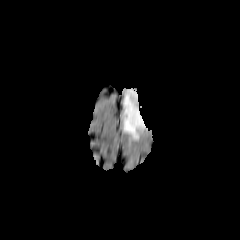
FLAIR MRI.
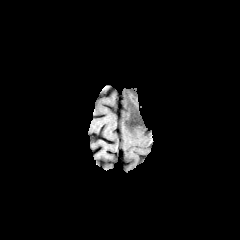
T1-weighted MR.
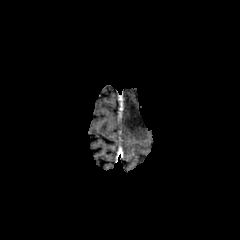
Same slice, post-contrast T1-weighted MRI.
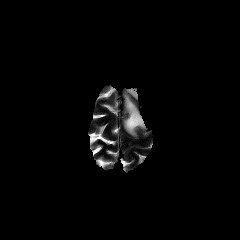
T2-weighted MR image.
The peritumoral edema appears at l=123, t=89, r=145, b=138.